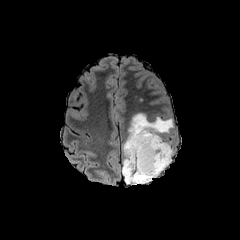
FLAIR MR.
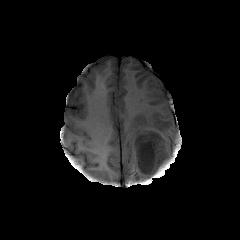
T1-weighted MR image of the same slice.
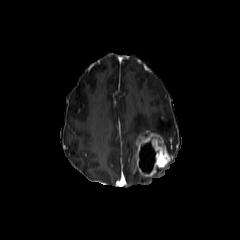
Post-contrast T1-weighted MR image.
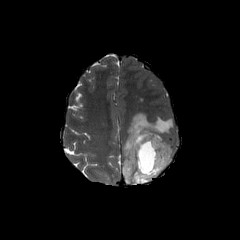
T2-weighted MR image.
240x240; Axial slice; Head
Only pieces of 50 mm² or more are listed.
enhancing tumor: bounding box l=135, t=130, r=172, b=178
peritumoral edema: bounding box l=122, t=113, r=174, b=184
necrotic tumor core: bounding box l=139, t=141, r=155, b=173